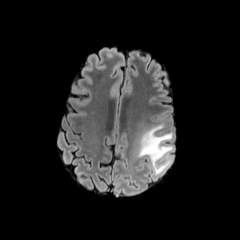
FLAIR MRI.
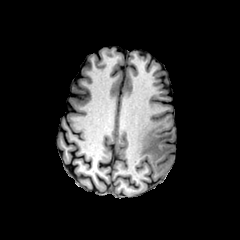
T1-weighted MRI of the same slice.
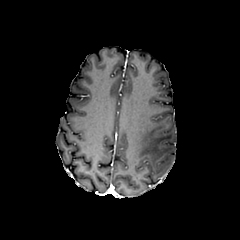
Post-contrast T1-weighted MR.
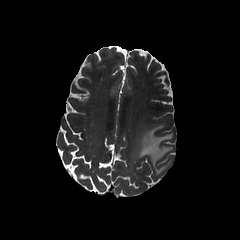
T2-weighted MR.
Axial view; 240x240
peritumoral edema: 137,124,173,174